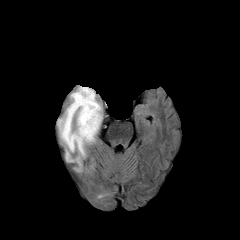
FLAIR MR image.
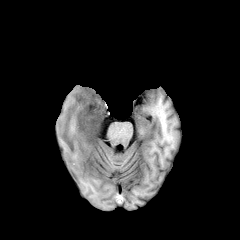
Same slice, T1-weighted MR image.
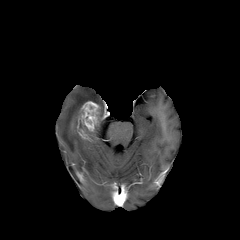
Post-contrast T1-weighted MR of the same slice.
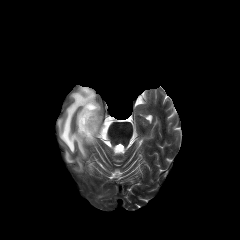
T2-weighted MRI.
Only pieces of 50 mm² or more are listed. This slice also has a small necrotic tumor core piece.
The largest peritumoral edema region is at 57,86,102,171. The enhancing tumor is bounded by 77,101,105,141.